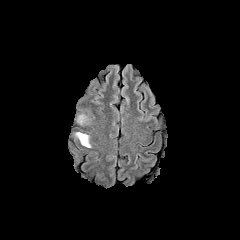
FLAIR MRI.
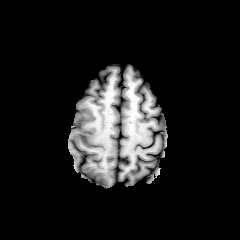
Same slice, T1-weighted MR image.
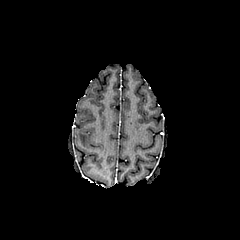
Post-contrast T1-weighted magnetic resonance.
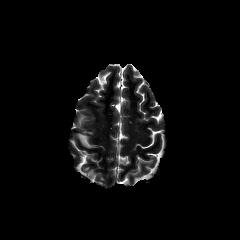
T2-weighted MRI.
Head
The peritumoral edema is located at box=[77, 133, 89, 147].